Image width 240 mm, Brain
FLAIR MRI.
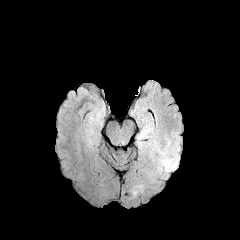
T1-weighted MR image.
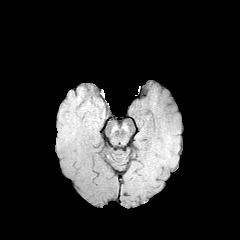
Post-contrast T1-weighted MRI.
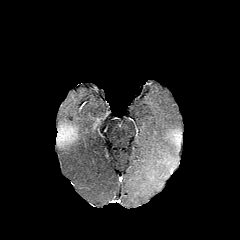
T2-weighted magnetic resonance.
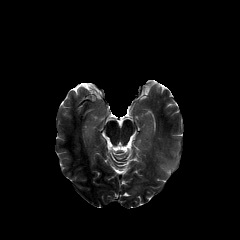
peritumoral edema: <box>136,132,180,170</box>